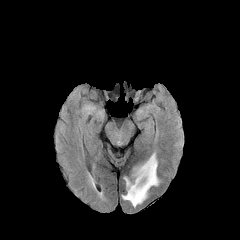
FLAIR MRI.
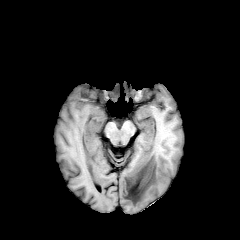
T1-weighted MR.
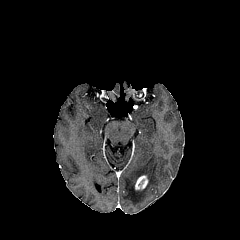
Same slice, post-contrast T1-weighted MR.
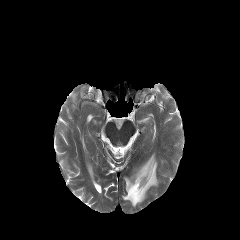
T2-weighted MR image.
Axial view. 240x240.
enhancing tumor = l=135, t=175, r=148, b=190
peritumoral edema = l=122, t=153, r=158, b=206